Image width 240 mm. Slice index 71. Axial plane. 240x240 px. Head.
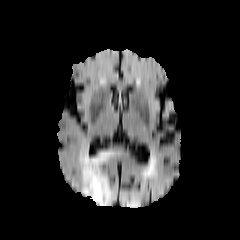
FLAIR magnetic resonance.
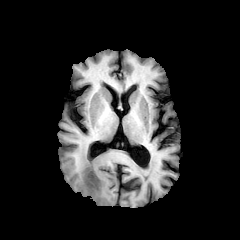
Same slice, T1-weighted MRI.
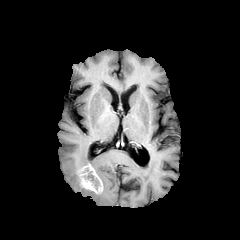
Post-contrast T1-weighted MR.
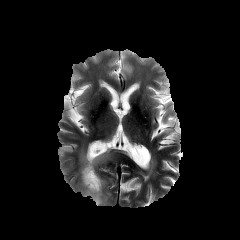
T2-weighted magnetic resonance.
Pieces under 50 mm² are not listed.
The largest necrotic tumor core region appears at bbox=[87, 173, 98, 186]. The largest peritumoral edema region lies within bbox=[79, 149, 113, 205]. The enhancing tumor is bounded by bbox=[80, 164, 102, 193].